FLAIR MR.
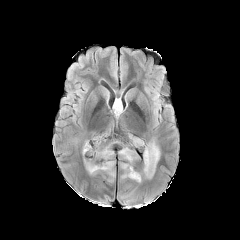
T1-weighted MR.
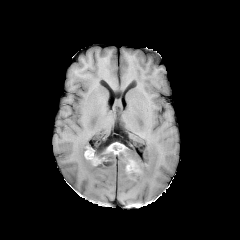
Post-contrast T1-weighted MR image.
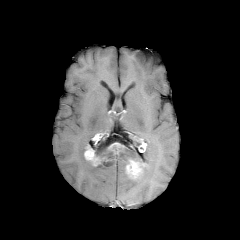
T2-weighted MR image.
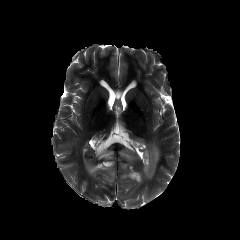
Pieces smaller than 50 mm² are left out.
peritumoral edema: [120,163,130,179], [118,147,141,163], [133,141,160,183], [84,138,116,182] | enhancing tumor: [84,144,100,165], [126,160,145,179]